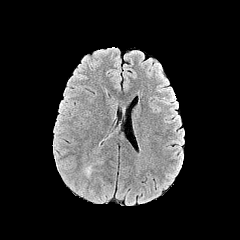
FLAIR MRI.
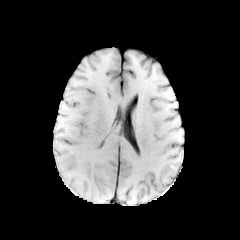
Same slice, T1-weighted MRI.
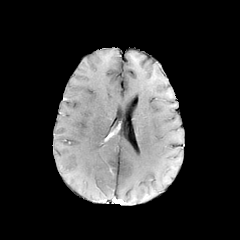
Post-contrast T1-weighted MR image.
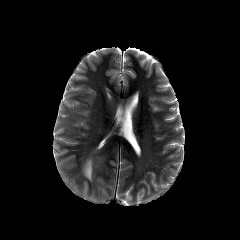
T2-weighted MR image.
peritumoral edema — l=82, t=160, r=93, b=179